FLAIR MR image.
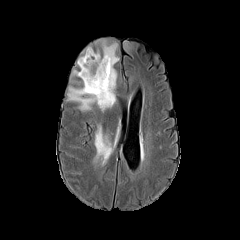
T1-weighted MR.
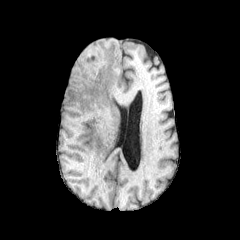
Post-contrast T1-weighted MR.
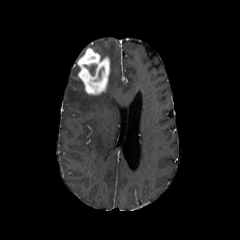
T2-weighted magnetic resonance.
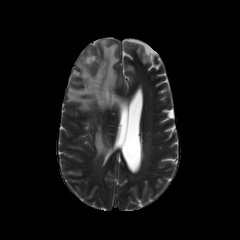
Brain
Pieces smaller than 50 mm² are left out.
necrotic_tumor_core:
  - (93,65,105,81)
enhancing_tumor:
  - (77,47,110,95)
peritumoral_edema:
  - (95,126,112,163)
  - (67,40,119,110)